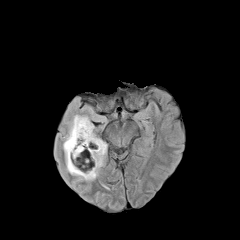
FLAIR magnetic resonance.
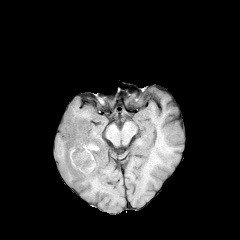
Same slice, T1-weighted MR image.
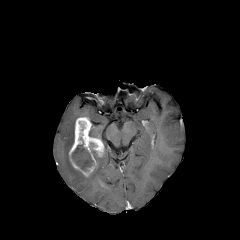
Post-contrast T1-weighted MR of the same slice.
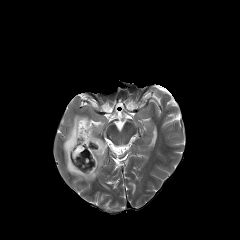
T2-weighted magnetic resonance.
Brain, 240x240 px, Axial plane
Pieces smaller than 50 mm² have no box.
peritumoral edema — bbox=[63, 115, 107, 181]; bbox=[90, 124, 98, 137]
necrotic tumor core — bbox=[71, 144, 93, 170]
enhancing tumor — bbox=[68, 117, 104, 176]